240x240 | Brain
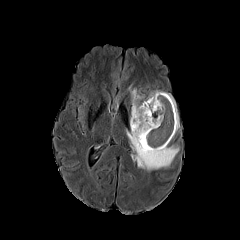
FLAIR MRI.
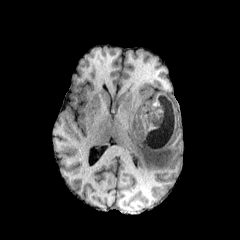
T1-weighted magnetic resonance.
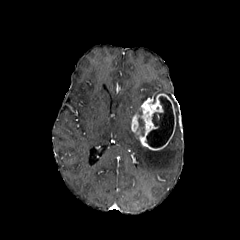
Post-contrast T1-weighted MR.
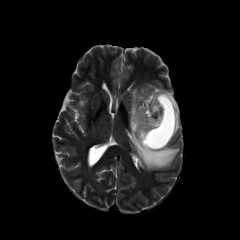
T2-weighted MRI.
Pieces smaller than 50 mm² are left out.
necrotic tumor core = bbox=[146, 96, 173, 147]
enhancing tumor = bbox=[131, 93, 176, 150]
peritumoral edema = bbox=[126, 129, 179, 170]; bbox=[138, 117, 144, 135]; bbox=[148, 91, 179, 135]; bbox=[130, 88, 144, 127]